FLAIR MR image.
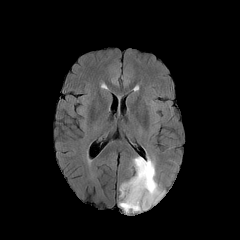
T1-weighted MR image.
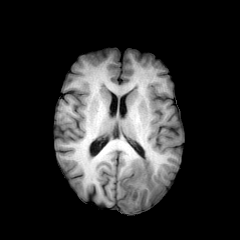
Post-contrast T1-weighted MR image.
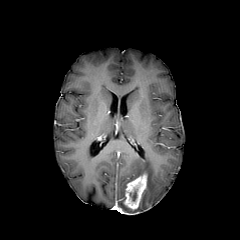
T2-weighted magnetic resonance.
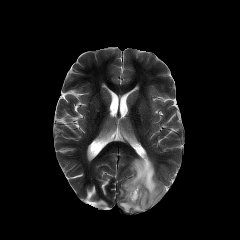
Image size 240x240, Head
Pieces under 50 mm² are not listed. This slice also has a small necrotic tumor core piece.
enhancing tumor at (x1=124, y1=172, x2=147, y2=209)
peritumoral edema at (x1=119, y1=157, x2=164, y2=212)